Brain, Image width 240 mm, Axial view
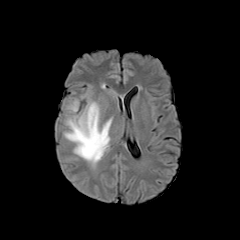
FLAIR MR.
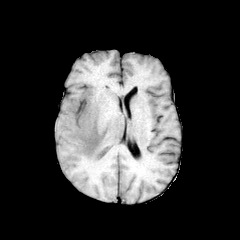
Same slice, T1-weighted MRI.
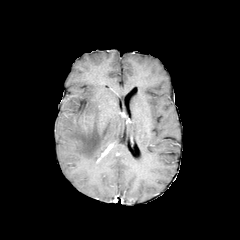
Same slice, post-contrast T1-weighted magnetic resonance.
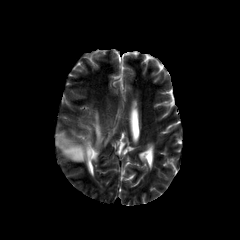
Same slice, T2-weighted MR.
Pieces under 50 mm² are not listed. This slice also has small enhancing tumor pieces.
{"peritumoral_edema": ["62 102 112 168", "68 101 77 112"]}